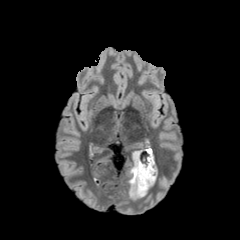
FLAIR MRI.
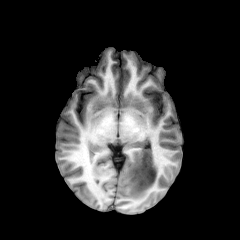
T1-weighted magnetic resonance of the same slice.
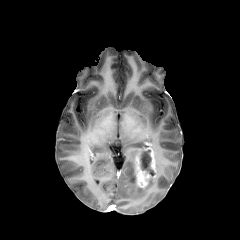
Post-contrast T1-weighted MR of the same slice.
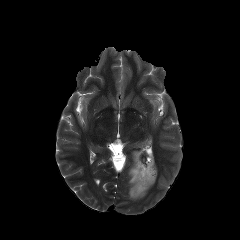
T2-weighted MR image of the same slice.
240x240 px, Head
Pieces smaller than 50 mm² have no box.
enhancing tumor — <box>134,147,156,188</box>
necrotic tumor core — <box>140,150,154,175</box>
peritumoral edema — <box>129,149,156,199</box>